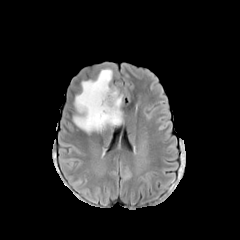
FLAIR MRI.
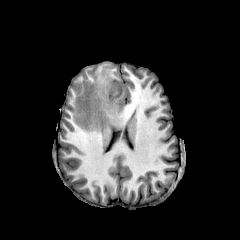
T1-weighted magnetic resonance.
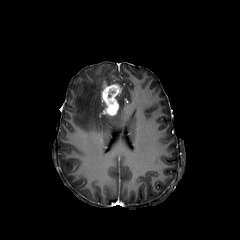
Post-contrast T1-weighted magnetic resonance.
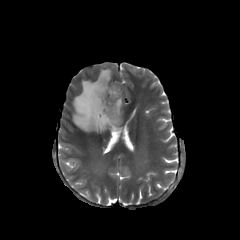
Same slice, T2-weighted magnetic resonance.
240x240 px, Axial view
Annotated regions:
- enhancing tumor: bbox=[101, 81, 121, 115]
- peritumoral edema: bbox=[73, 68, 112, 132]; bbox=[101, 94, 122, 130]